Brain, Axial plane
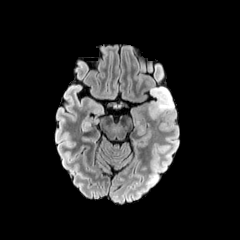
FLAIR magnetic resonance.
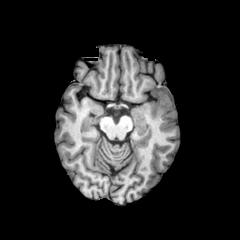
T1-weighted MRI.
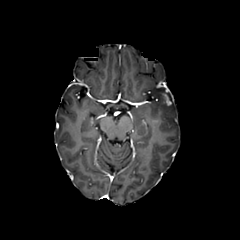
Same slice, post-contrast T1-weighted magnetic resonance.
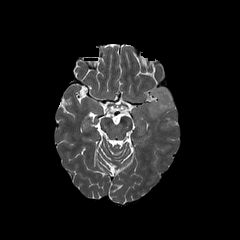
T2-weighted magnetic resonance of the same slice.
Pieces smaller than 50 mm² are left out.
peritumoral edema at bbox(148, 87, 174, 119)
enhancing tumor at bbox(159, 90, 172, 107)